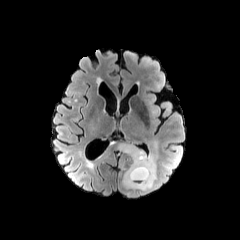
FLAIR MRI.
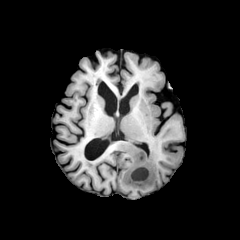
T1-weighted MRI of the same slice.
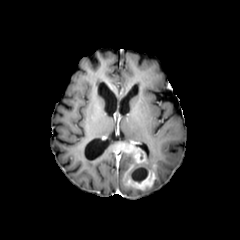
Same slice, post-contrast T1-weighted MRI.
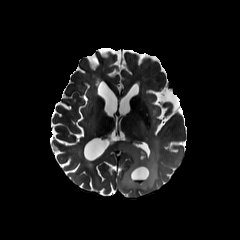
T2-weighted MR of the same slice.
240x240 px | Axial plane | Brain
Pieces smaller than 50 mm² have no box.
Annotated regions:
- peritumoral edema: [x1=121, y1=167, x2=161, y2=197], [x1=146, y1=141, x2=158, y2=168]
- enhancing tumor: [x1=114, y1=143, x2=156, y2=189]
- necrotic tumor core: [x1=131, y1=167, x2=148, y2=182]